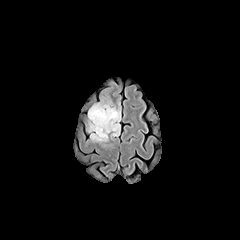
FLAIR MR image.
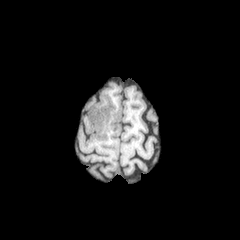
T1-weighted MR of the same slice.
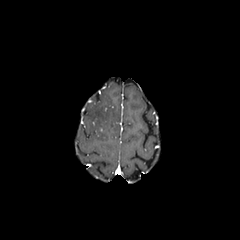
Post-contrast T1-weighted MR image of the same slice.
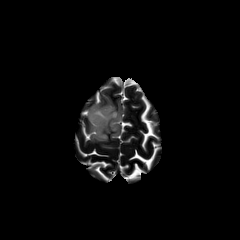
T2-weighted MRI of the same slice.
The peritumoral edema is at (x1=88, y1=103, x2=120, y2=142).